Image width 240 mm, 1.00 mm slice spacing. Slice index 80. Axial view. Head.
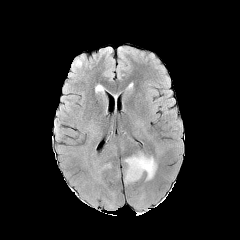
FLAIR MRI.
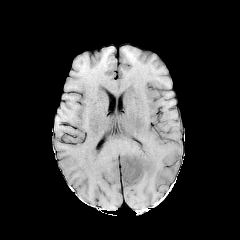
T1-weighted MR of the same slice.
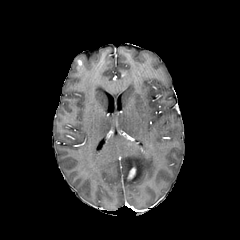
Same slice, post-contrast T1-weighted magnetic resonance.
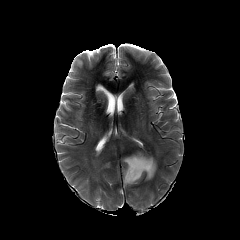
T2-weighted magnetic resonance.
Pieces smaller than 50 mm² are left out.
peritumoral_edema:
  - 124:153:156:183
enhancing_tumor:
  - 127:167:136:179